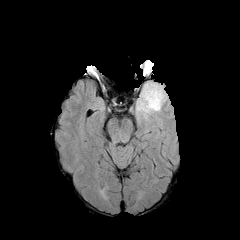
FLAIR MR.
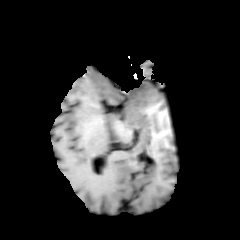
T1-weighted MR.
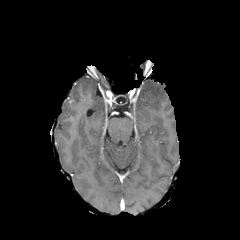
Same slice, post-contrast T1-weighted MRI.
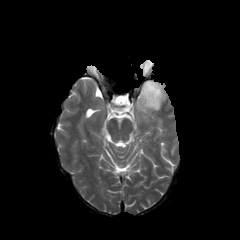
Same slice, T2-weighted MRI.
Axial slice; 240x240; Brain
Findings:
• peritumoral edema: (left=135, top=81, right=167, bottom=123)